Axial slice.
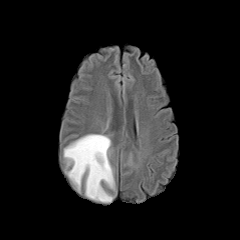
FLAIR MRI.
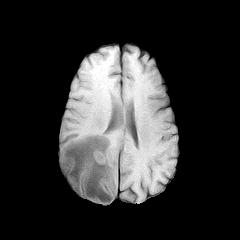
T1-weighted magnetic resonance of the same slice.
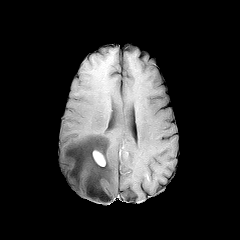
Same slice, post-contrast T1-weighted MR image.
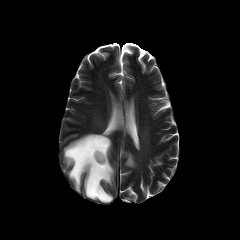
Same slice, T2-weighted magnetic resonance.
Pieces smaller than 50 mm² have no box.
<segmentation>
  <enhancing_tumor>l=93, t=150, r=105, b=166</enhancing_tumor>
  <peritumoral_edema>l=63, t=134, r=114, b=202</peritumoral_edema>
</segmentation>